FLAIR MR image.
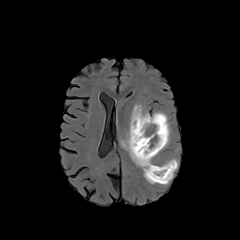
T1-weighted MR.
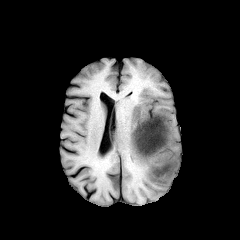
Post-contrast T1-weighted magnetic resonance.
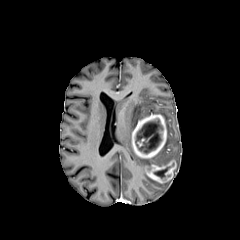
T2-weighted MRI.
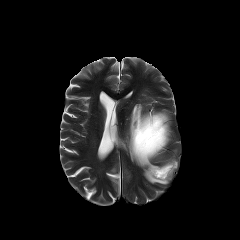
Brain, Axial view
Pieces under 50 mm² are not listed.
peritumoral edema at (120,104,161,183)
necrotic tumor core at (154,167,170,178), (136,120,162,152)
enhancing tumor at (146,160,176,183), (131,114,167,158)